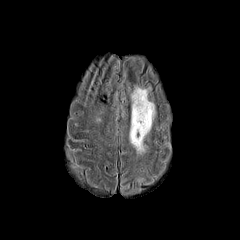
FLAIR MRI.
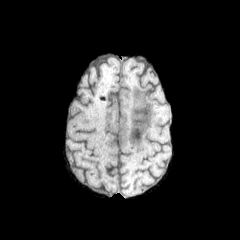
Same slice, T1-weighted magnetic resonance.
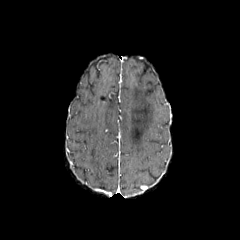
Post-contrast T1-weighted magnetic resonance of the same slice.
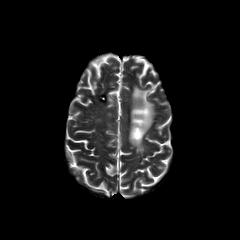
Same slice, T2-weighted MRI.
Brain, Axial plane
peritumoral edema at <bbox>129, 86, 155, 152</bbox>